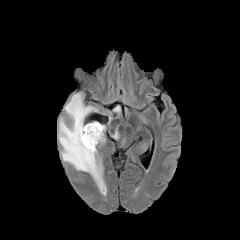
FLAIR MRI.
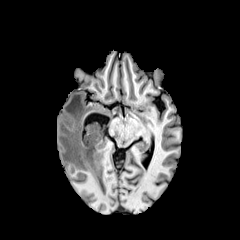
T1-weighted MRI of the same slice.
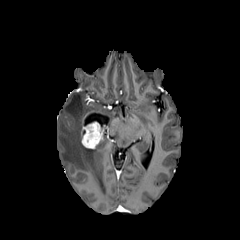
Post-contrast T1-weighted magnetic resonance of the same slice.
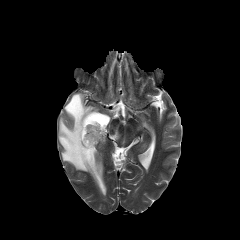
T2-weighted magnetic resonance of the same slice.
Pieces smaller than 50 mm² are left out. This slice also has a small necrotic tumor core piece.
{"peritumoral_edema": ["58,93,106,188"], "enhancing_tumor": ["81,111,105,149"]}